Axial plane.
FLAIR MR.
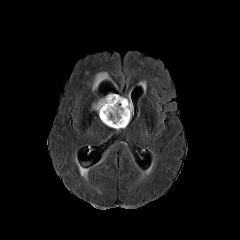
T1-weighted magnetic resonance.
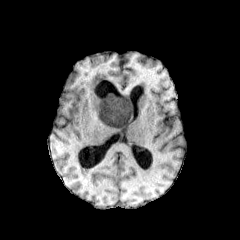
Post-contrast T1-weighted MRI.
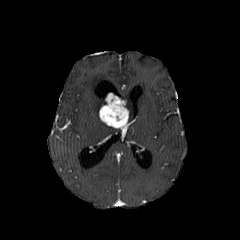
T2-weighted magnetic resonance.
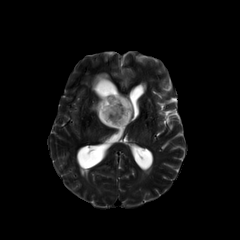
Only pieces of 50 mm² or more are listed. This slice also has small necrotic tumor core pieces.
{
  "peritumoral_edema": [
    {"x1": 92, "y1": 97, "x2": 105, "y2": 112},
    {"x1": 117, "y1": 95, "x2": 132, "y2": 122},
    {"x1": 92, "y1": 72, "x2": 110, "y2": 90}
  ],
  "enhancing_tumor": [
    {"x1": 99, "y1": 93, "x2": 129, "y2": 128}
  ]
}